Brain
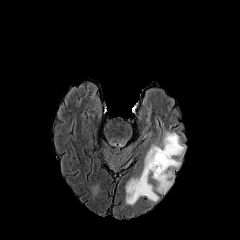
FLAIR magnetic resonance.
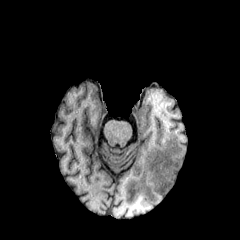
T1-weighted MRI.
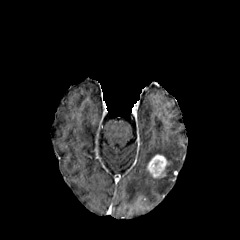
Post-contrast T1-weighted magnetic resonance of the same slice.
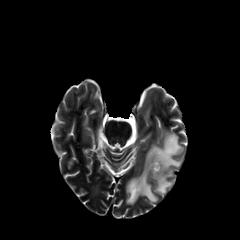
Same slice, T2-weighted MRI.
The peritumoral edema appears at (126,132,184,204). The enhancing tumor is bounded by (147,154,170,177).